Image width 240 mm, 1.00 mm slice spacing; Slice 112/155; 240x240 px
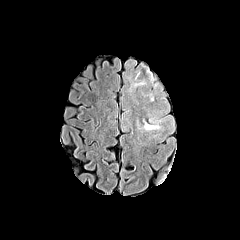
FLAIR MRI.
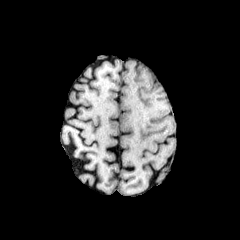
T1-weighted magnetic resonance of the same slice.
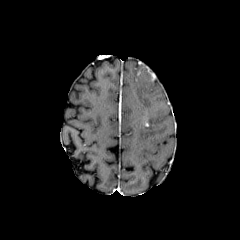
Post-contrast T1-weighted MRI.
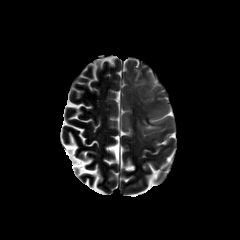
T2-weighted magnetic resonance.
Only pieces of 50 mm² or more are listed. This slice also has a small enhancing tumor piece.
The largest peritumoral edema region is bounded by x1=143, y1=124, x2=159, y2=130.